Slice index 110 | Axial plane | Image covers 240 mm x 240 mm
FLAIR MR.
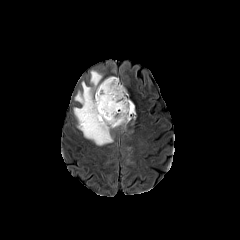
T1-weighted magnetic resonance.
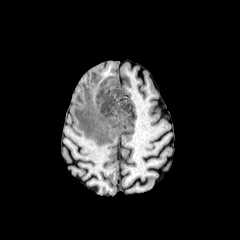
Post-contrast T1-weighted magnetic resonance.
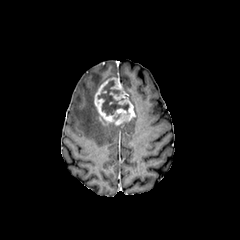
T2-weighted magnetic resonance.
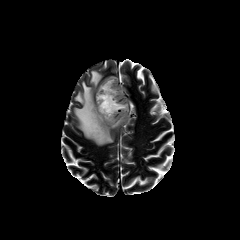
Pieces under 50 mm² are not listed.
necrotic tumor core at x1=98, y1=80, x2=128, y2=115
enhancing tumor at x1=94, y1=77, x2=134, y2=125
peritumoral edema at x1=74, y1=70, x2=118, y2=145